FLAIR MR image.
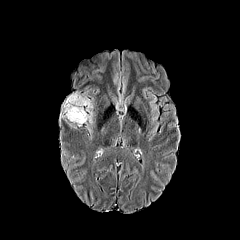
T1-weighted magnetic resonance.
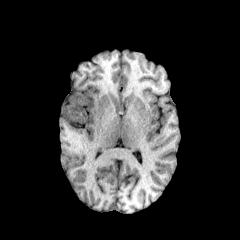
Post-contrast T1-weighted magnetic resonance.
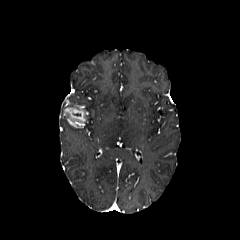
T2-weighted MRI.
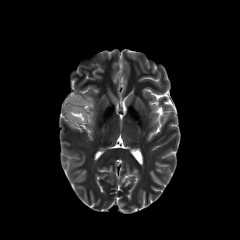
240x240 px. Head.
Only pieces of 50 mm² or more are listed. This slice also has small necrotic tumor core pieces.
enhancing tumor — l=63, t=100, r=86, b=127
peritumoral edema — l=68, t=95, r=93, b=115